Axial plane. Slice 96 of 155.
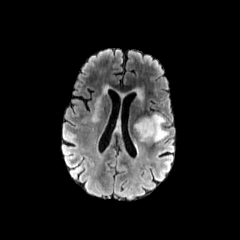
FLAIR MR image.
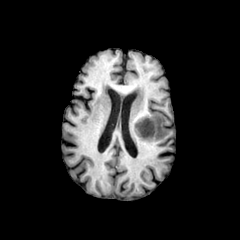
T1-weighted MR.
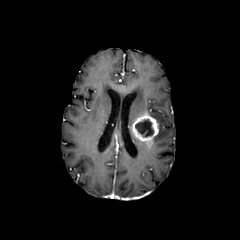
Same slice, post-contrast T1-weighted MR.
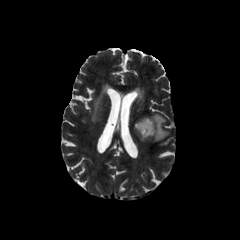
T2-weighted magnetic resonance.
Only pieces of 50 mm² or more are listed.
peritumoral edema: [151, 113, 168, 141]
enhancing tumor: [132, 112, 158, 147]
necrotic tumor core: [135, 119, 153, 136]